FLAIR magnetic resonance.
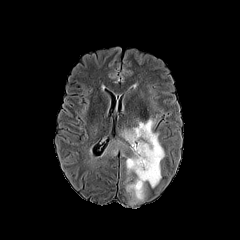
T1-weighted MRI.
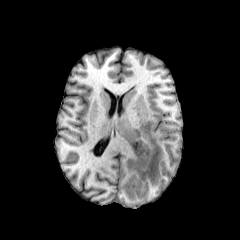
Post-contrast T1-weighted MRI.
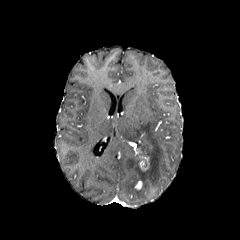
T2-weighted MR.
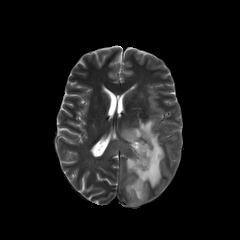
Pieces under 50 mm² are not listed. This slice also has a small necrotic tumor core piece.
peritumoral_edema:
  - (x1=102, y1=138, x2=127, y2=157)
  - (x1=120, y1=115, x2=164, y2=204)
enhancing_tumor:
  - (x1=135, y1=181, x2=142, y2=189)
  - (x1=134, y1=146, x2=150, y2=171)